FLAIR MR image.
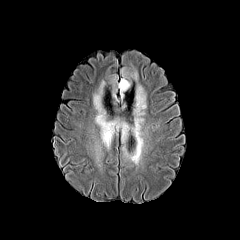
T1-weighted MRI.
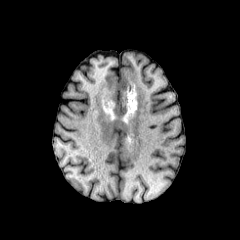
Post-contrast T1-weighted MRI.
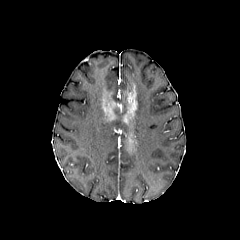
T2-weighted magnetic resonance.
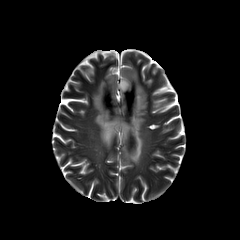
Axial slice
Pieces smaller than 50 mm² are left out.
peritumoral_edema:
  - (93,63,146,164)